Slice index 81 | Brain | Axial plane
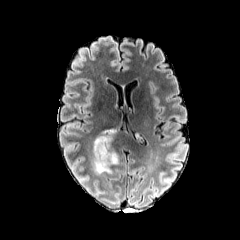
FLAIR MR image.
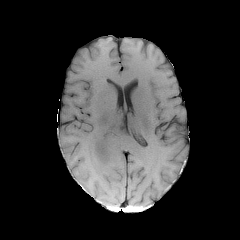
T1-weighted MR image of the same slice.
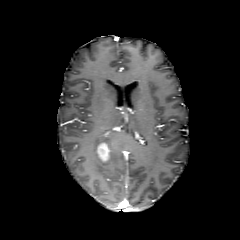
Post-contrast T1-weighted magnetic resonance.
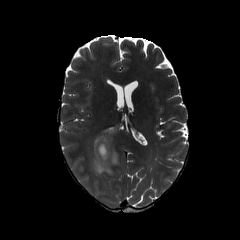
T2-weighted MR of the same slice.
The enhancing tumor is bounded by x1=96, y1=141, x2=109, y2=162. The peritumoral edema is at x1=92, y1=133, x2=118, y2=173.